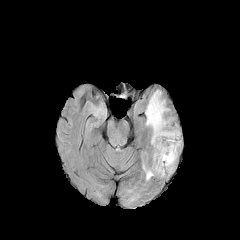
FLAIR MR.
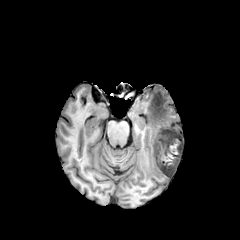
T1-weighted MR image.
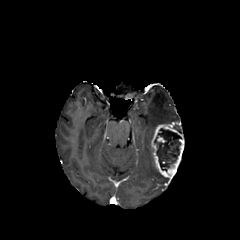
Same slice, post-contrast T1-weighted MR.
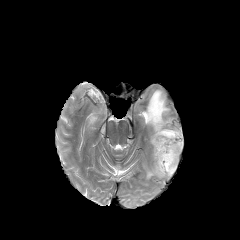
T2-weighted MRI.
Head
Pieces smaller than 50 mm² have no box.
peritumoral edema: [143, 164, 163, 179], [145, 90, 169, 134] | enhancing tumor: [151, 124, 183, 177] | necrotic tumor core: [154, 128, 181, 171]